FLAIR MR.
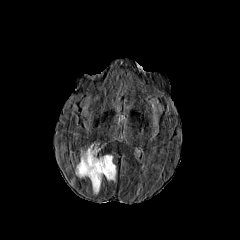
T1-weighted MR image.
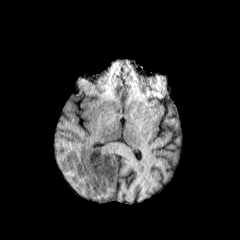
Post-contrast T1-weighted MRI.
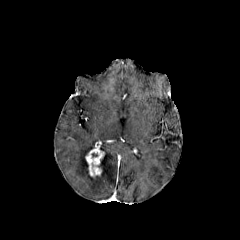
T2-weighted MRI.
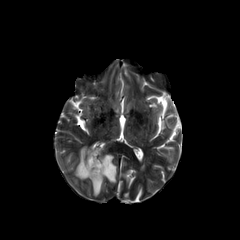
240x240.
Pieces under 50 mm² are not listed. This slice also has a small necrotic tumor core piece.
The peritumoral edema is at box=[75, 145, 116, 194]. The enhancing tumor is bounded by box=[85, 147, 103, 177].